240x240 px; Brain; Image covers 240 mm x 240 mm
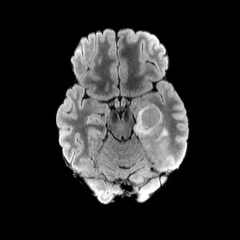
FLAIR MR.
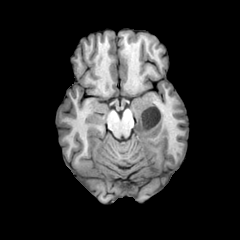
T1-weighted MR.
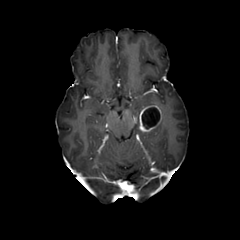
Same slice, post-contrast T1-weighted MR image.
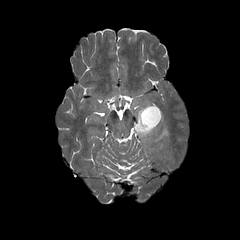
T2-weighted MR image of the same slice.
{"necrotic_tumor_core": ["141, 107, 160, 128"], "enhancing_tumor": ["138, 105, 161, 132"], "peritumoral_edema": ["134, 102, 162, 138", "153, 126, 167, 142"]}